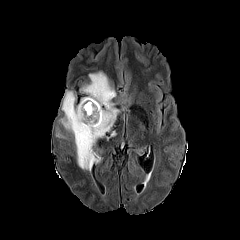
FLAIR MRI.
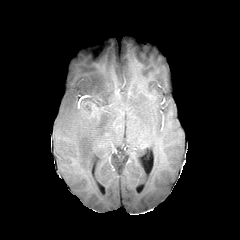
T1-weighted magnetic resonance of the same slice.
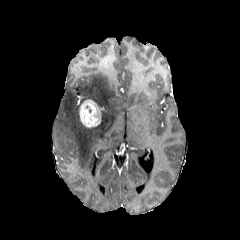
Post-contrast T1-weighted MR image.
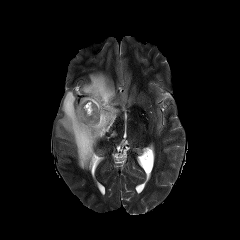
T2-weighted MRI.
Brain, Axial view
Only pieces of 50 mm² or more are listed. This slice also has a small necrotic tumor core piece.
peritumoral_edema:
  - [x1=58, y1=71, x2=119, y2=170]
enhancing_tumor:
  - [x1=79, y1=99, x2=102, y2=127]